240x240 px, Brain
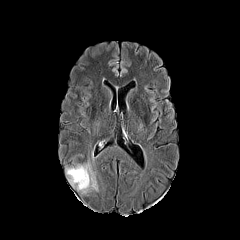
FLAIR MR image.
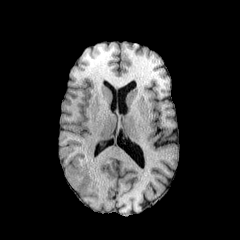
T1-weighted MR.
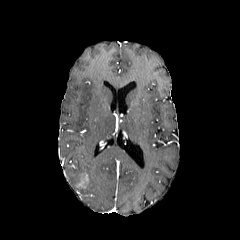
Same slice, post-contrast T1-weighted MRI.
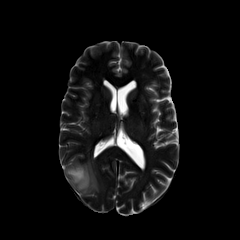
Same slice, T2-weighted magnetic resonance.
The peritumoral edema is bounded by box(66, 162, 98, 193). The enhancing tumor is at box(77, 172, 88, 188).